FLAIR MR.
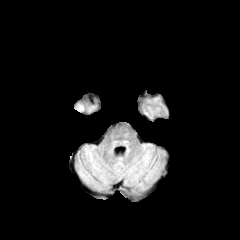
T1-weighted MR image.
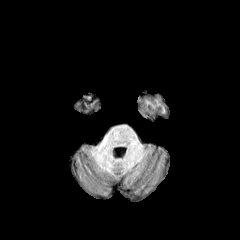
Post-contrast T1-weighted MR image.
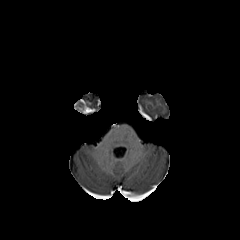
T2-weighted magnetic resonance.
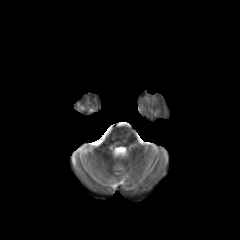
Head.
The enhancing tumor is located at <bbox>75, 105, 91, 112</bbox>.